Slice 67/155 | Head | Image width 240 mm
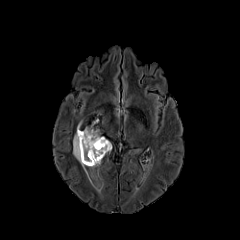
FLAIR magnetic resonance.
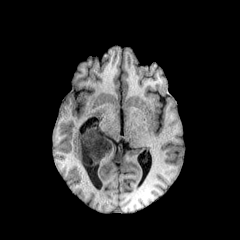
Same slice, T1-weighted MRI.
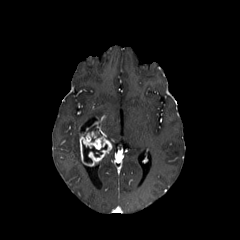
Same slice, post-contrast T1-weighted MR.
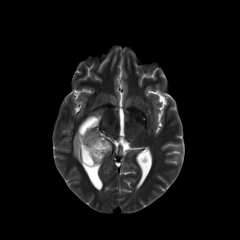
Same slice, T2-weighted MR.
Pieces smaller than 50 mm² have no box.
enhancing tumor: rect(79, 130, 111, 166)
necrotic tumor core: rect(82, 141, 107, 163)
peritumoral edema: rect(73, 121, 98, 165)